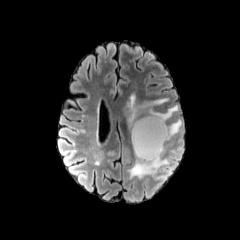
FLAIR MRI.
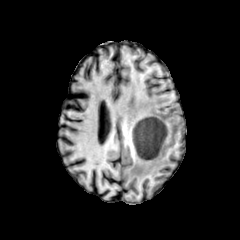
T1-weighted MRI.
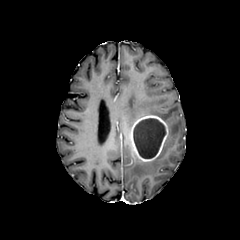
Post-contrast T1-weighted magnetic resonance of the same slice.
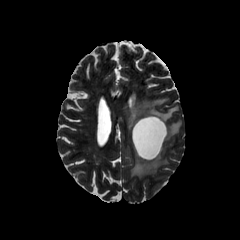
T2-weighted MR of the same slice.
Brain
necrotic tumor core: rect(133, 118, 165, 158) | enhancing tumor: rect(131, 115, 168, 161) | peritumoral edema: rect(123, 93, 178, 132); rect(129, 147, 168, 178); rect(167, 120, 181, 139)